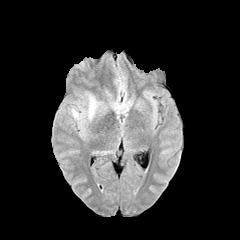
FLAIR MR image.
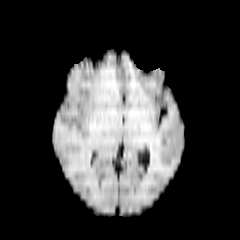
T1-weighted MR image of the same slice.
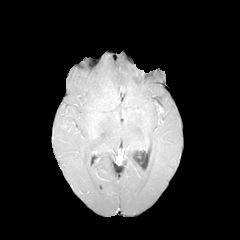
Post-contrast T1-weighted MRI of the same slice.
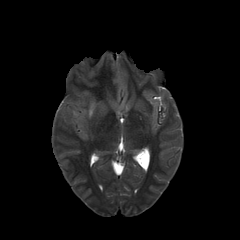
Same slice, T2-weighted MR image.
Axial view
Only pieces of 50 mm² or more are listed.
Segmented structures:
• peritumoral edema: [88, 98, 96, 118]